Head | Image width 240 mm, 1.00 mm slice spacing | Axial plane
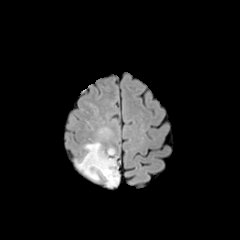
FLAIR MR.
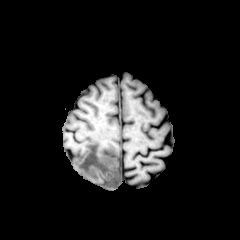
T1-weighted MR image.
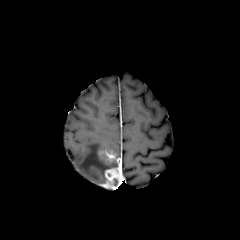
Post-contrast T1-weighted MRI.
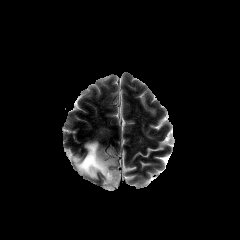
T2-weighted MRI.
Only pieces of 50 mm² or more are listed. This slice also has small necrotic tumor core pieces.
peritumoral_edema:
  - 76,142,116,179
enhancing_tumor:
  - 104,168,120,188
  - 99,151,114,162